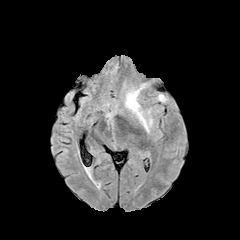
FLAIR MRI.
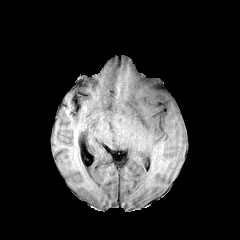
T1-weighted MR of the same slice.
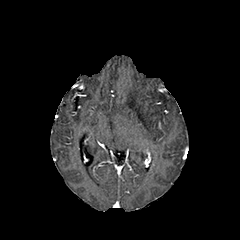
Post-contrast T1-weighted MR image of the same slice.
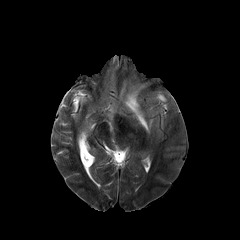
T2-weighted MRI of the same slice.
Axial plane, Brain
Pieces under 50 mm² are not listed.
peritumoral_edema:
  - x1=125 y1=84 x2=152 y2=132